FLAIR magnetic resonance.
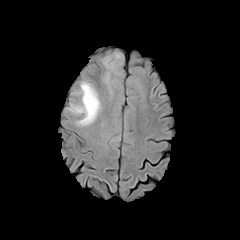
T1-weighted MRI.
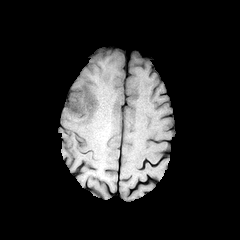
Post-contrast T1-weighted MR image.
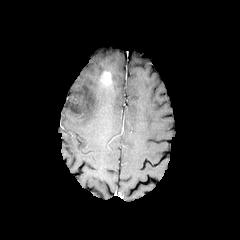
T2-weighted MR.
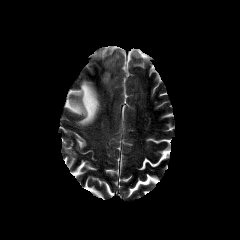
Brain
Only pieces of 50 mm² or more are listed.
{
  "enhancing_tumor": [
    "[102, 72, 111, 85]"
  ],
  "peritumoral_edema": [
    "[104, 53, 120, 70]",
    "[67, 80, 101, 126]"
  ]
}